FLAIR MRI.
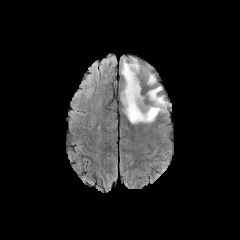
T1-weighted magnetic resonance.
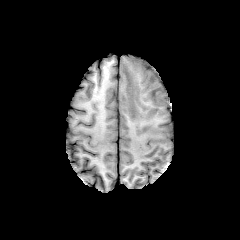
Post-contrast T1-weighted MR image.
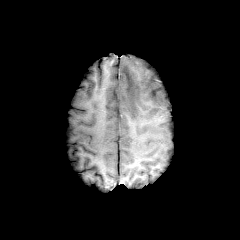
T2-weighted MRI.
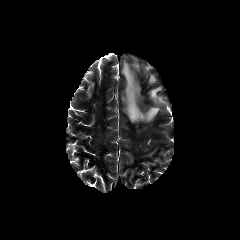
2 peritumoral edema regions are bounded by <box>148,73,155,84</box>, <box>121,58,168,123</box>.